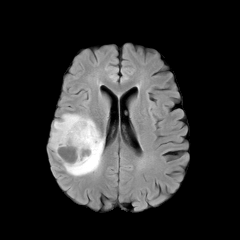
FLAIR MRI.
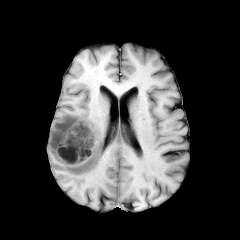
T1-weighted MR image of the same slice.
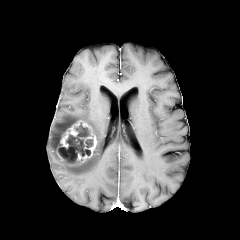
Post-contrast T1-weighted magnetic resonance.
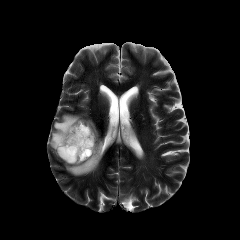
T2-weighted MRI of the same slice.
Brain
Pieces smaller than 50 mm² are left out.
necrotic_tumor_core:
  - bbox(58, 123, 90, 164)
  - bbox(85, 139, 92, 147)
enhancing_tumor:
  - bbox(56, 120, 97, 166)
peritumoral_edema:
  - bbox(49, 114, 103, 176)